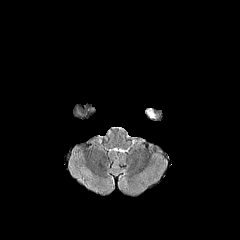
FLAIR MR.
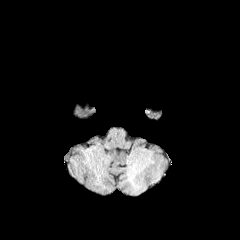
T1-weighted MRI of the same slice.
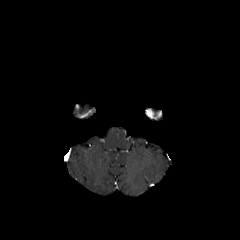
Post-contrast T1-weighted magnetic resonance.
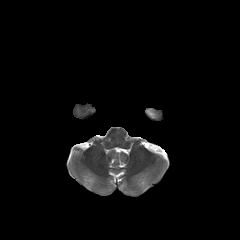
T2-weighted magnetic resonance of the same slice.
Axial plane | Brain
enhancing_tumor:
  - [146, 108, 154, 117]